Image width 240 mm, 1.00 mm slice spacing. Brain. Slice 47/155. Axial plane.
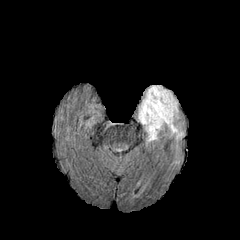
FLAIR MR image.
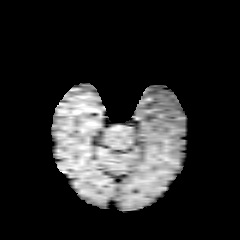
T1-weighted magnetic resonance.
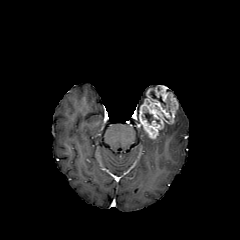
Post-contrast T1-weighted MR of the same slice.
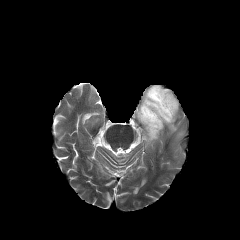
Same slice, T2-weighted MR.
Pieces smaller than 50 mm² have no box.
The 2 largest peritumoral edema regions are bounded by box(166, 123, 183, 140); box(146, 134, 159, 144). The enhancing tumor is located at box(139, 85, 178, 139). The 2 largest necrotic tumor core regions appear at box(144, 112, 153, 123); box(150, 91, 165, 105).